FLAIR MR image.
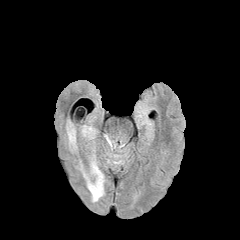
T1-weighted MRI.
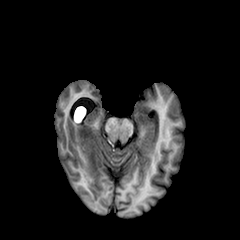
Post-contrast T1-weighted MR.
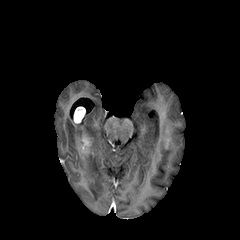
T2-weighted MR.
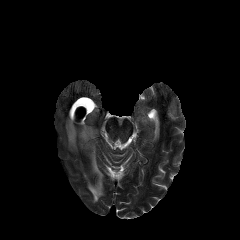
Axial plane | 240x240 px | Head
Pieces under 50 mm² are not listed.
The enhancing tumor is bounded by [81,134,89,152]. The 2 largest peritumoral edema regions are located at [66,119,77,152], [79,125,104,202].